FLAIR MR.
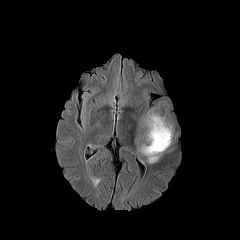
T1-weighted MR.
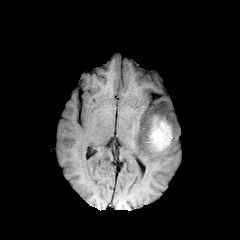
Post-contrast T1-weighted magnetic resonance.
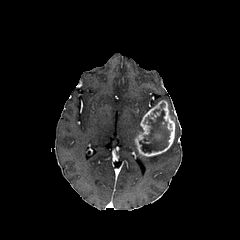
T2-weighted MR.
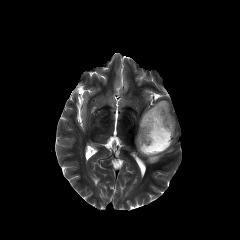
240x240 px; Brain
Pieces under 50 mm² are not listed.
The largest peritumoral edema region is bounded by 146,153,163,163. The largest necrotic tumor core region appears at 139,110,169,152. The largest enhancing tumor region is bounded by 135,100,175,156.